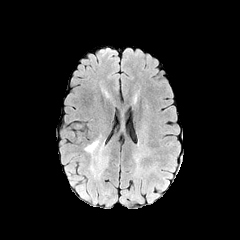
FLAIR MRI.
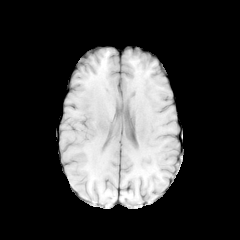
T1-weighted magnetic resonance.
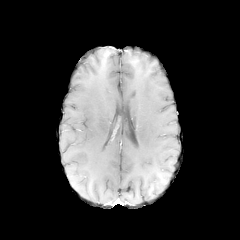
Post-contrast T1-weighted MR of the same slice.
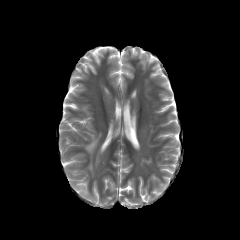
T2-weighted MR.
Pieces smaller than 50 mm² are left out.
Segmented structures:
* peritumoral edema: rect(85, 135, 100, 154)